Head, Axial slice
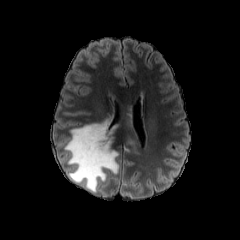
FLAIR MRI.
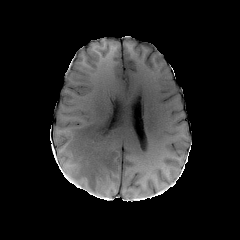
T1-weighted MRI of the same slice.
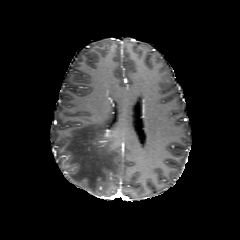
Post-contrast T1-weighted magnetic resonance.
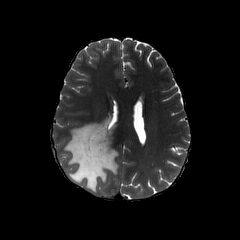
T2-weighted MR.
peritumoral edema = [64,119,118,192]
enhancing tumor = [98,130,110,142]